FLAIR MRI.
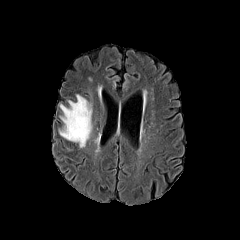
T1-weighted MR.
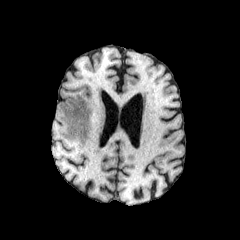
Post-contrast T1-weighted MR.
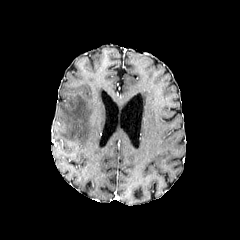
T2-weighted magnetic resonance.
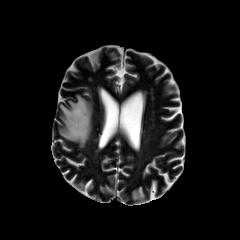
Image size 240x240, Axial plane
peritumoral edema at 59,94,92,147